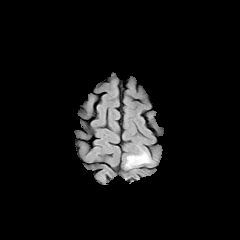
FLAIR MRI.
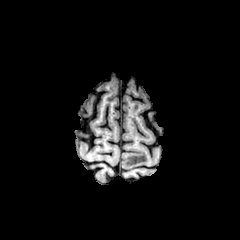
T1-weighted magnetic resonance.
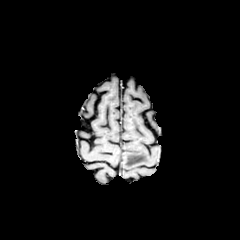
Post-contrast T1-weighted MRI of the same slice.
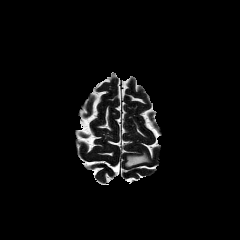
T2-weighted MRI of the same slice.
Head | Image size 240x240
{
  "peritumoral_edema": [
    "<box>125,152,150,167</box>"
  ]
}